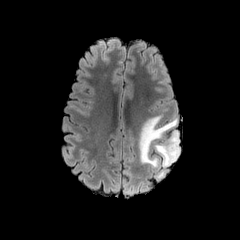
FLAIR magnetic resonance.
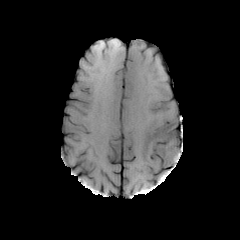
T1-weighted MR image of the same slice.
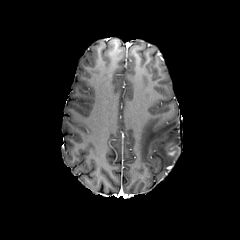
Post-contrast T1-weighted MRI.
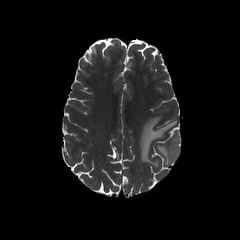
T2-weighted magnetic resonance.
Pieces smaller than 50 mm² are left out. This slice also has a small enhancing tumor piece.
peritumoral_edema:
  - [x1=138, y1=115, x2=177, y2=168]
  - [x1=154, y1=131, x2=180, y2=166]